FLAIR MRI.
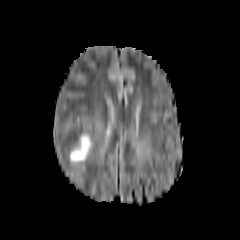
T1-weighted MR.
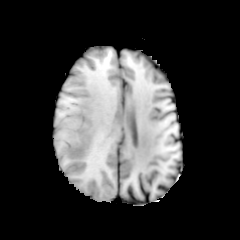
Post-contrast T1-weighted MR.
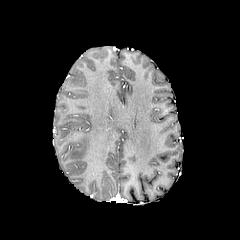
T2-weighted MR image.
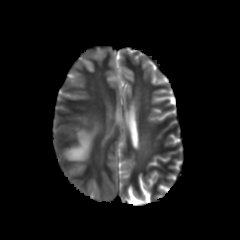
Brain
The peritumoral edema is located at 69,134,91,160.